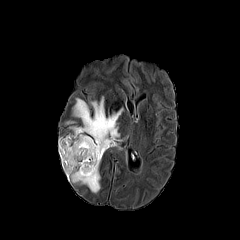
FLAIR MR image.
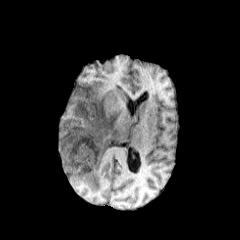
T1-weighted magnetic resonance of the same slice.
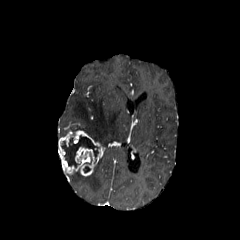
Post-contrast T1-weighted magnetic resonance of the same slice.
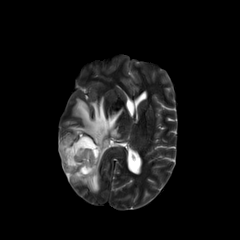
T2-weighted MRI.
Brain | 240x240 px
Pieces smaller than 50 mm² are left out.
{
  "enhancing_tumor": [
    "58:130:105:176"
  ],
  "necrotic_tumor_core": [
    "61:135:98:167"
  ],
  "peritumoral_edema": [
    "69:96:123:149",
    "67:158:101:192"
  ]
}